Slice 92/155, Axial plane
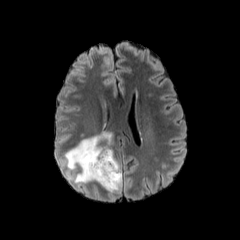
FLAIR magnetic resonance.
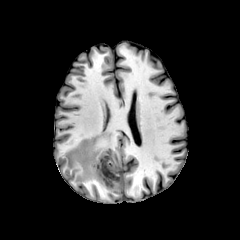
T1-weighted MR image of the same slice.
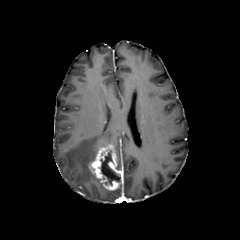
Same slice, post-contrast T1-weighted MR.
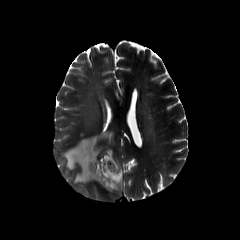
T2-weighted magnetic resonance of the same slice.
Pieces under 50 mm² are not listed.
peritumoral edema: bounding box 65, 132, 112, 187
necrotic tumor core: bounding box 100, 150, 120, 185
enhancing tumor: bounding box 89, 144, 122, 190